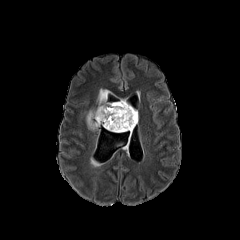
FLAIR MR.
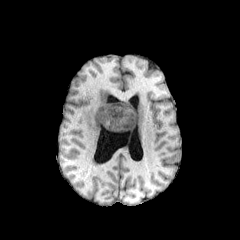
T1-weighted magnetic resonance.
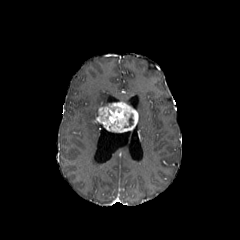
Post-contrast T1-weighted MRI.
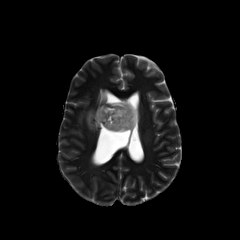
Same slice, T2-weighted MR image.
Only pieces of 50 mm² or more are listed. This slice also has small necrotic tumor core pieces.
The enhancing tumor is bounded by [96, 101, 138, 132]. The largest peritumoral edema region is bounded by [86, 89, 109, 130].